Slice 48/155
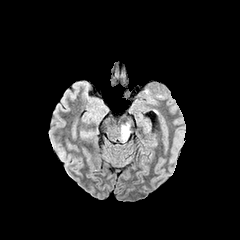
FLAIR MRI.
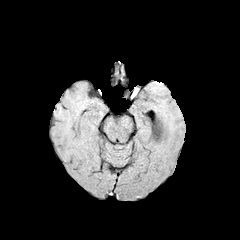
T1-weighted magnetic resonance.
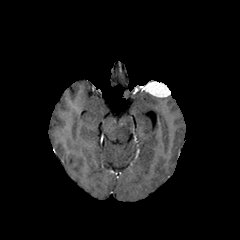
Post-contrast T1-weighted magnetic resonance.
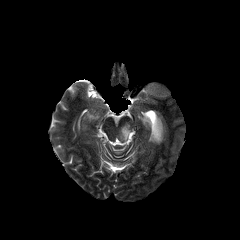
T2-weighted MR image.
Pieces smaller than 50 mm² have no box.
peritumoral edema: box(120, 123, 130, 142)